FLAIR MR.
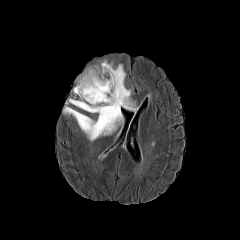
T1-weighted MR image.
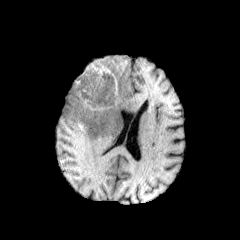
Post-contrast T1-weighted MR image.
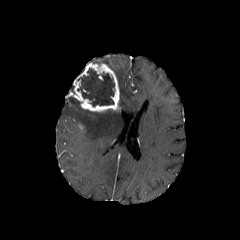
T2-weighted MR image.
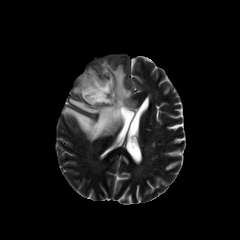
Image size 240x240. Head.
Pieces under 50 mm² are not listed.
necrotic tumor core: bounding box box(77, 68, 114, 106)
peritumoral edema: bounding box box(63, 106, 123, 141); box(103, 60, 137, 111); box(69, 98, 82, 108)
enhancing tumor: bounding box box(74, 63, 120, 112)